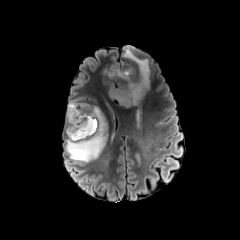
FLAIR MR image.
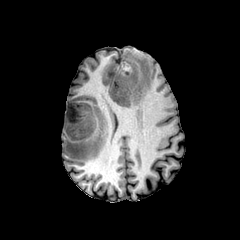
T1-weighted MR.
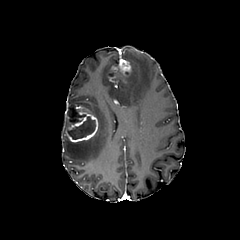
Post-contrast T1-weighted MRI of the same slice.
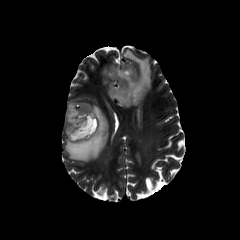
T2-weighted MR image of the same slice.
Brain
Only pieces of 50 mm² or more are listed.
The 2 largest necrotic tumor core regions appear at [67, 105, 85, 126], [67, 116, 95, 139]. 2 enhancing tumor regions are bounded by [108, 59, 131, 83], [65, 105, 98, 142]. The 2 largest peritumoral edema regions are bounded by [65, 100, 107, 162], [108, 47, 150, 106].